Axial slice
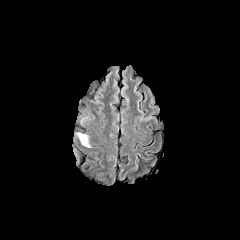
FLAIR MRI.
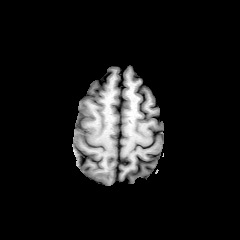
T1-weighted MR image of the same slice.
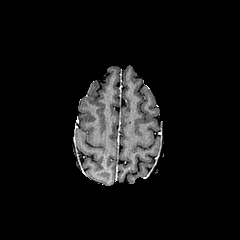
Post-contrast T1-weighted magnetic resonance of the same slice.
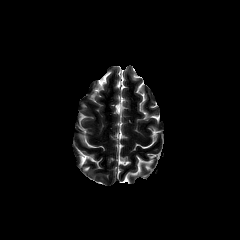
Same slice, T2-weighted MR.
The peritumoral edema appears at <box>79,134,87,145</box>.